FLAIR MR image.
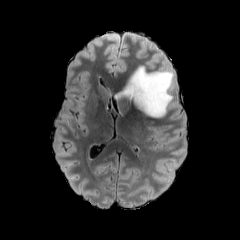
T1-weighted MR image.
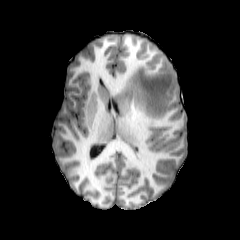
Post-contrast T1-weighted MR.
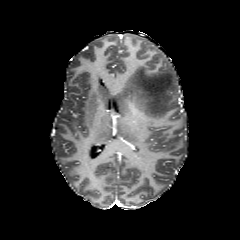
T2-weighted MR image.
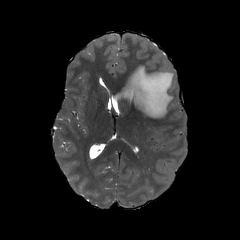
Axial slice. Brain.
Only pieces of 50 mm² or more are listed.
{
  "peritumoral_edema": [
    "(left=114, top=65, right=176, bottom=118)"
  ]
}